FLAIR MRI.
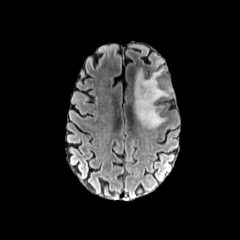
T1-weighted MRI.
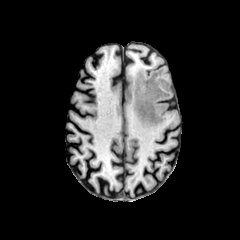
Post-contrast T1-weighted MRI.
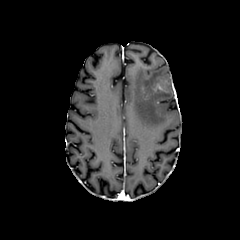
T2-weighted MR.
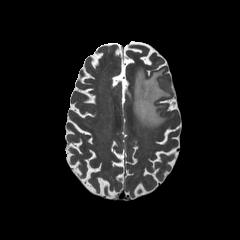
Brain
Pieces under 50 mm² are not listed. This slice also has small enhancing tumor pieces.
<segmentation>
  <peritumoral_edema>[x1=155, y1=59, x2=163, y2=67], [x1=134, y1=68, x2=171, y2=127]</peritumoral_edema>
</segmentation>